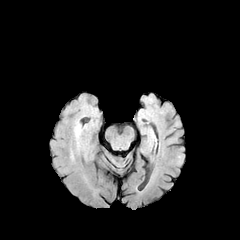
FLAIR MRI.
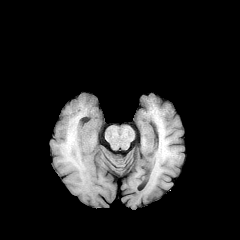
T1-weighted MRI.
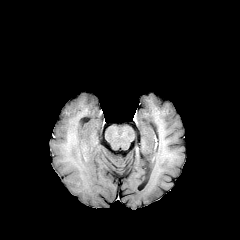
Post-contrast T1-weighted MR.
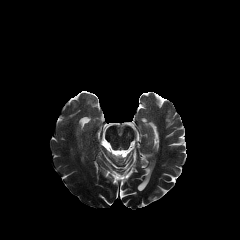
T2-weighted MR.
Head. Image size 240x240. Axial plane.
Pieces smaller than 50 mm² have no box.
<segmentation>
  <peritumoral_edema>l=76, t=125, r=82, b=138</peritumoral_edema>
</segmentation>